FLAIR magnetic resonance.
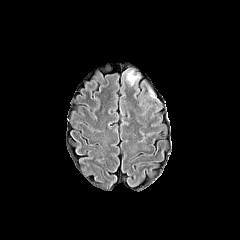
T1-weighted MR image.
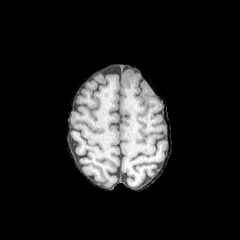
Post-contrast T1-weighted MR image.
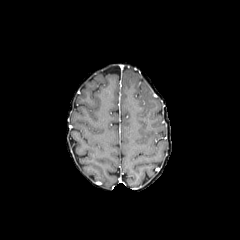
T2-weighted MR image.
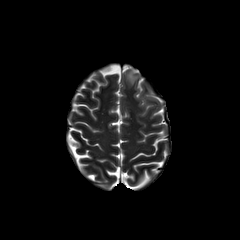
240x240 px | Axial view
Findings:
- peritumoral edema: <bbox>127, 72, 137, 84</bbox>